FLAIR MR image.
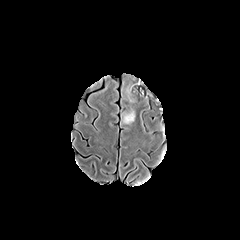
T1-weighted MR image.
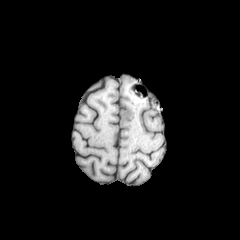
Post-contrast T1-weighted MRI.
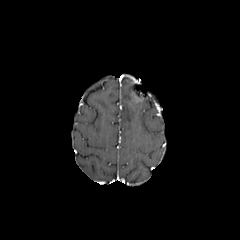
T2-weighted MRI.
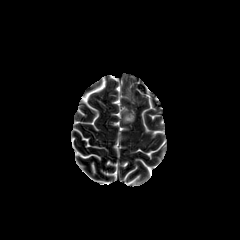
Axial plane. Head. 240x240.
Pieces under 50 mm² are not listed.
* peritumoral edema: [123, 108, 135, 124]